Brain; Image width 240 mm; Axial view
FLAIR MRI.
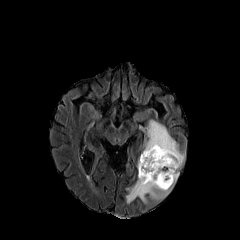
T1-weighted MR image.
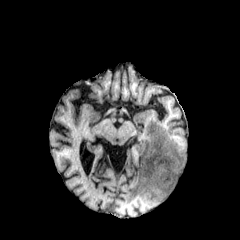
Post-contrast T1-weighted magnetic resonance.
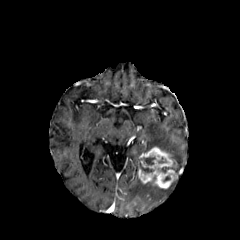
T2-weighted MR.
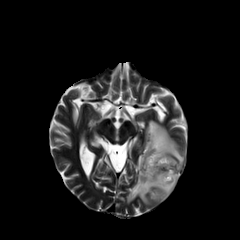
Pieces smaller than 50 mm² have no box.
necrotic tumor core — box(143, 157, 155, 165); box(139, 163, 154, 172)
enhancing tumor — box(138, 146, 179, 188)
peritumoral edema — box(143, 120, 185, 172); box(126, 178, 176, 203)